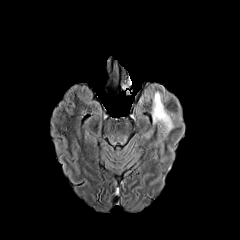
FLAIR MR.
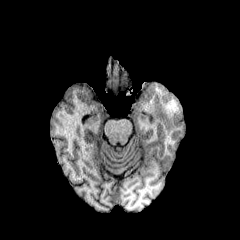
Same slice, T1-weighted magnetic resonance.
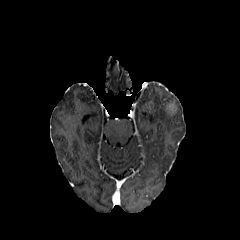
Post-contrast T1-weighted magnetic resonance.
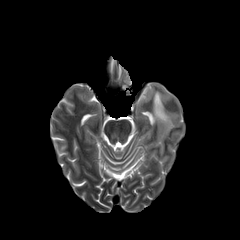
T2-weighted MRI of the same slice.
240x240 px
Segmented structures:
- peritumoral edema: 152 92 173 132